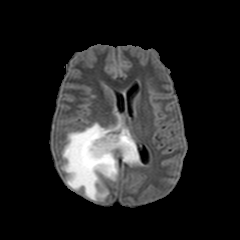
FLAIR magnetic resonance.
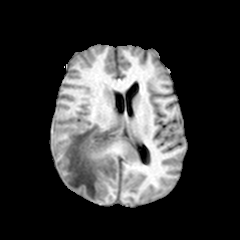
Same slice, T1-weighted MR.
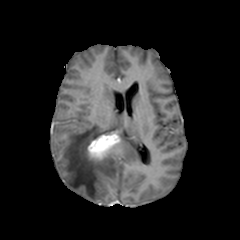
Post-contrast T1-weighted MR image.
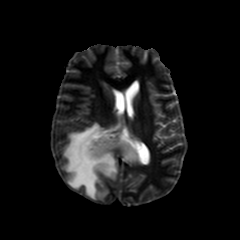
Same slice, T2-weighted MR.
Axial slice, 240x240 px, Head
enhancing_tumor:
  - l=87, t=132, r=120, b=160
peritumoral_edema:
  - l=61, t=122, r=141, b=200